Image width 240 mm; Axial view; Head
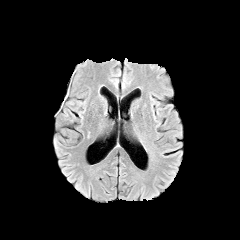
FLAIR MR.
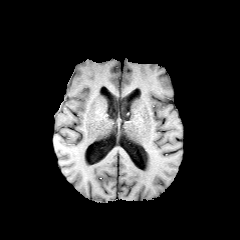
T1-weighted MRI.
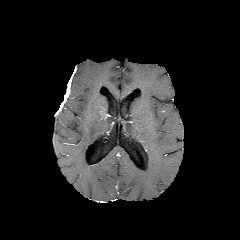
Post-contrast T1-weighted MRI of the same slice.
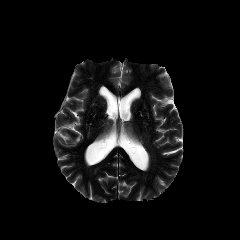
T2-weighted magnetic resonance.
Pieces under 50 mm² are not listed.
Annotated regions:
* enhancing tumor: bbox(55, 84, 69, 114)